FLAIR MR.
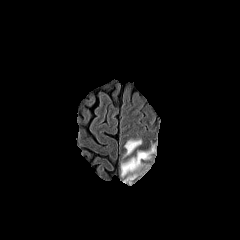
T1-weighted MRI.
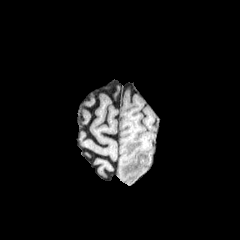
Post-contrast T1-weighted MR image.
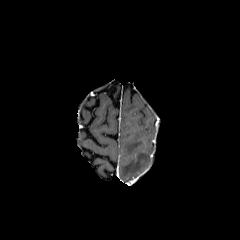
T2-weighted magnetic resonance.
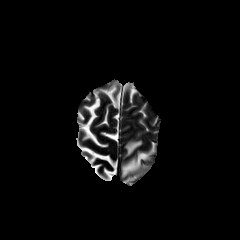
Brain, Axial plane
peritumoral edema = (left=125, top=140, right=141, bottom=155), (left=121, top=147, right=153, bottom=181)